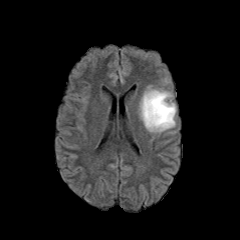
FLAIR MR.
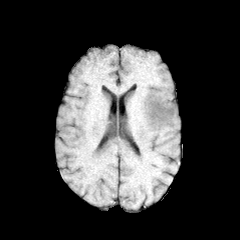
T1-weighted magnetic resonance of the same slice.
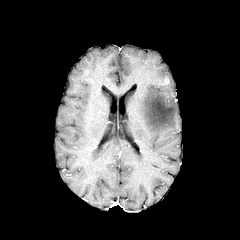
Post-contrast T1-weighted MR image of the same slice.
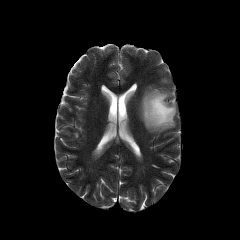
T2-weighted MR image.
Brain; Axial view; Image size 240x240
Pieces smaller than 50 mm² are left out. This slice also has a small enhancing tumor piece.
peritumoral edema at region(140, 88, 176, 132)